Brain; Slice 91/155; Image size 240x240
FLAIR MR image.
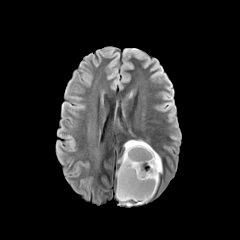
T1-weighted MR.
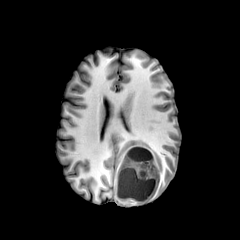
Post-contrast T1-weighted magnetic resonance.
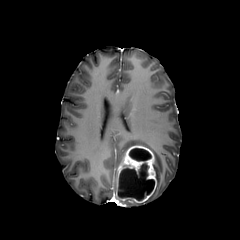
T2-weighted MR.
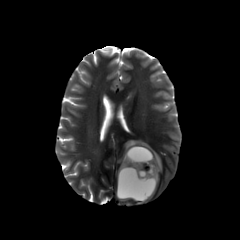
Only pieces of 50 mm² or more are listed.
{"peritumoral_edema": ["118 140 162 186"], "enhancing_tumor": ["116 145 156 202"], "necrotic_tumor_core": ["117 163 154 200", "129 148 151 161"]}